Slice 124/155; Axial view; Image size 240x240; Head
FLAIR magnetic resonance.
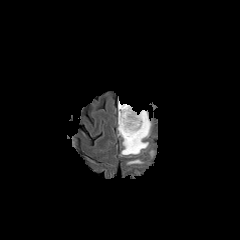
T1-weighted MR image.
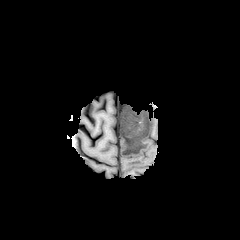
Post-contrast T1-weighted MR.
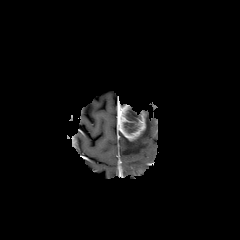
T2-weighted MR.
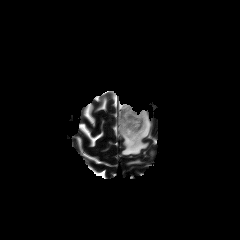
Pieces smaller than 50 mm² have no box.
necrotic_tumor_core:
  - box(124, 107, 140, 133)
enhancing_tumor:
  - box(117, 101, 146, 141)
peritumoral_edema:
  - box(118, 111, 151, 155)
  - box(127, 159, 143, 164)